Slice index 78 | Brain | Image size 240x240
FLAIR MR image.
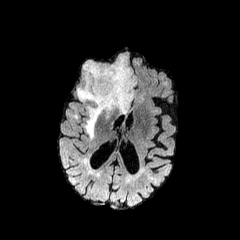
T1-weighted magnetic resonance.
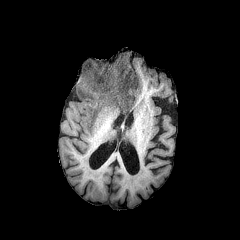
Post-contrast T1-weighted magnetic resonance.
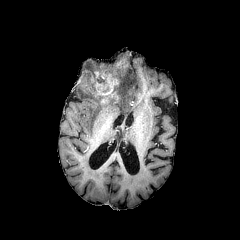
T2-weighted MR image.
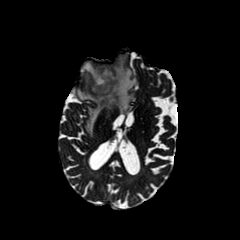
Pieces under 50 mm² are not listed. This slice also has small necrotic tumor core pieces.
<segmentation>
  <enhancing_tumor>91:59:125:103</enhancing_tumor>
  <peritumoral_edema>77:56:136:137</peritumoral_edema>
</segmentation>